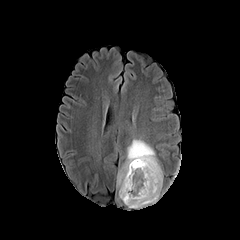
FLAIR MR image.
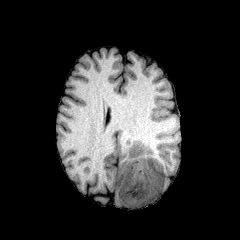
T1-weighted MRI.
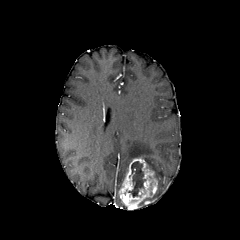
Post-contrast T1-weighted magnetic resonance.
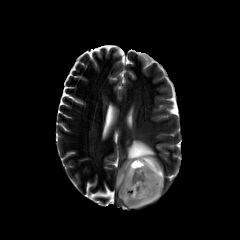
T2-weighted magnetic resonance.
Axial slice; Head
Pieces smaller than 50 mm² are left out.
{"peritumoral_edema": ["[117,139,163,196]"], "necrotic_tumor_core": ["[128,161,145,197]", "[139,192,157,205]"], "enhancing_tumor": ["[118,158,158,209]"]}